240x240. Brain.
FLAIR MRI.
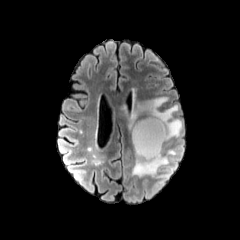
T1-weighted magnetic resonance.
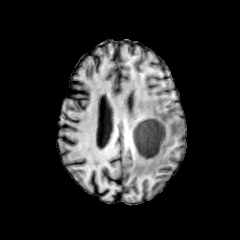
Post-contrast T1-weighted MR.
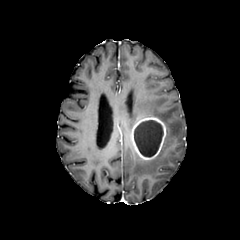
T2-weighted MR image.
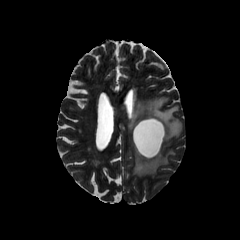
peritumoral edema = (123, 90, 182, 140), (132, 150, 175, 176)
necrotic tumor core = (134, 120, 163, 156)
enhancing tumor = (131, 116, 166, 160)